FLAIR magnetic resonance.
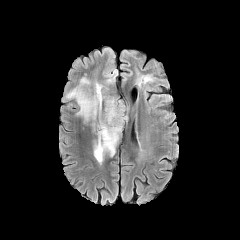
T1-weighted MR.
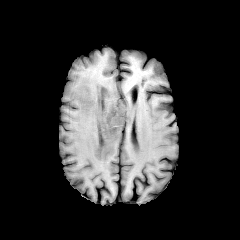
Post-contrast T1-weighted MR image.
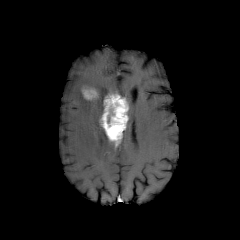
T2-weighted MR image.
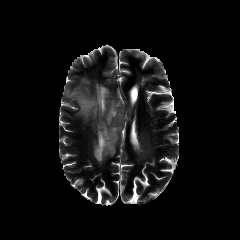
Brain | Axial plane
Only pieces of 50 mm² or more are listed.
enhancing tumor — (x1=99, y1=93, x2=128, y2=146), (x1=82, y1=85, x2=98, y2=100)
peritumoral edema — (x1=66, y1=77, x2=115, y2=163)
necrotic tumor core — (x1=106, y1=107, x2=114, y2=123)